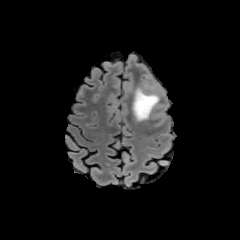
FLAIR magnetic resonance.
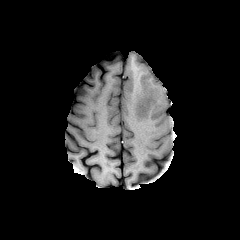
T1-weighted MR image.
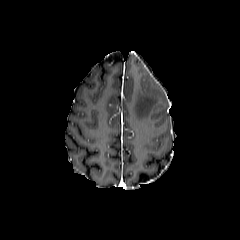
Post-contrast T1-weighted MR image.
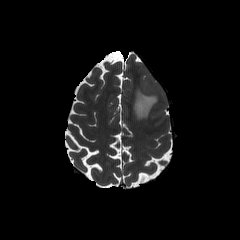
T2-weighted MR.
Brain.
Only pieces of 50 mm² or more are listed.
The largest peritumoral edema region is located at 133:88:158:120.